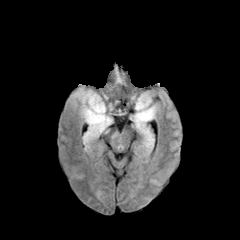
FLAIR MR image.
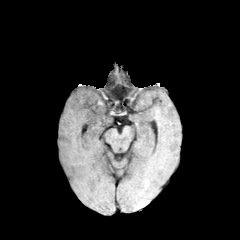
T1-weighted magnetic resonance.
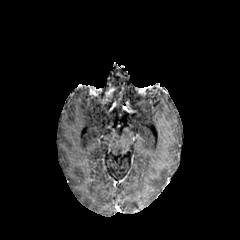
Same slice, post-contrast T1-weighted MR image.
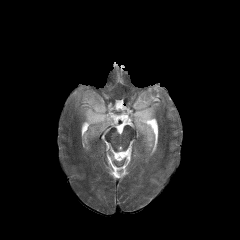
T2-weighted MR of the same slice.
240x240 px. Head.
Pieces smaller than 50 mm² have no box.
peritumoral edema: bounding box (131, 94, 156, 147), (104, 88, 113, 99), (72, 88, 112, 149)